FLAIR MR image.
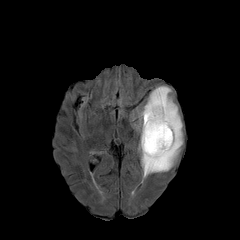
T1-weighted magnetic resonance.
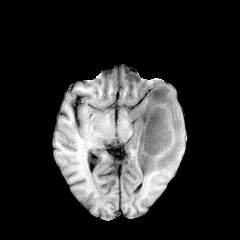
Post-contrast T1-weighted magnetic resonance.
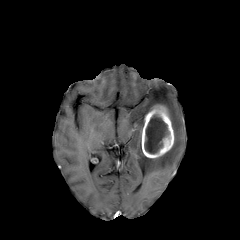
T2-weighted MRI.
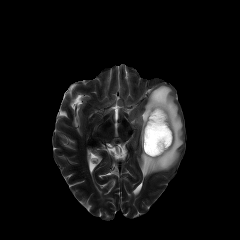
The enhancing tumor is bounded by 141:104:174:158. The peritumoral edema lies within 135:85:183:177. The necrotic tumor core is located at 144:115:169:153.